FLAIR MR.
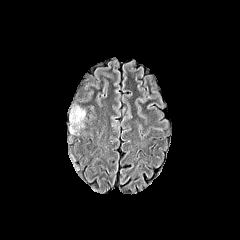
T1-weighted MR.
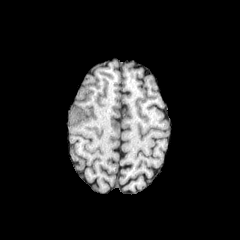
Post-contrast T1-weighted MRI.
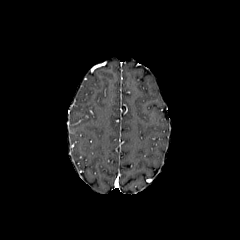
T2-weighted MR.
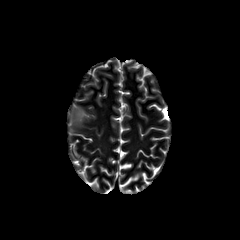
Head | Axial plane
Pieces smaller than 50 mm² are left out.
peritumoral edema — [70, 106, 85, 123]